Brain. Slice 108/155. Image size 240x240.
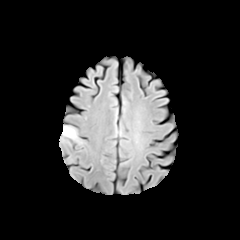
FLAIR MR.
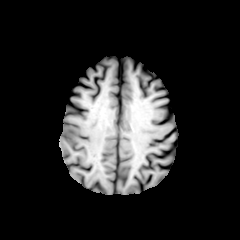
T1-weighted MR image of the same slice.
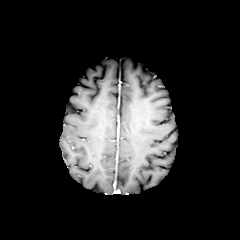
Post-contrast T1-weighted MRI of the same slice.
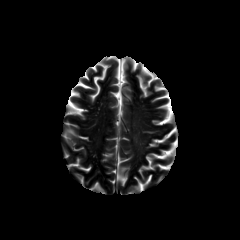
T2-weighted MRI.
Annotated regions:
- peritumoral edema: left=62, top=125, right=83, bottom=144